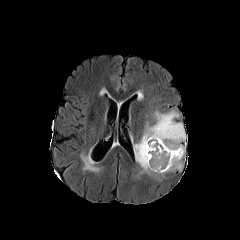
FLAIR MR.
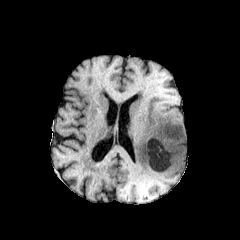
T1-weighted MRI.
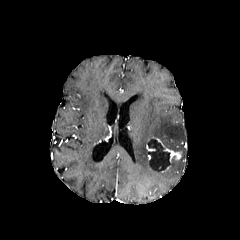
Post-contrast T1-weighted MRI.
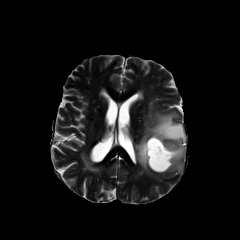
T2-weighted MRI of the same slice.
Axial slice, Head, Image size 240x240
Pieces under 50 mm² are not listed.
necrotic tumor core = 147, 137, 170, 171
enhancing tumor = 156, 137, 181, 173
peritumoral edema = 133, 111, 186, 178